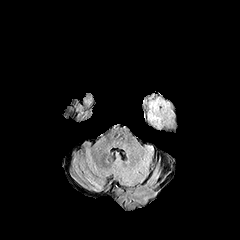
FLAIR MRI.
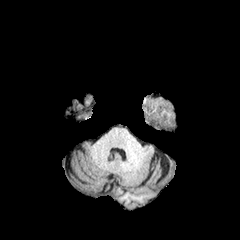
T1-weighted MR.
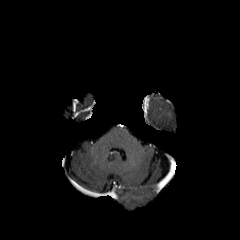
Post-contrast T1-weighted MRI.
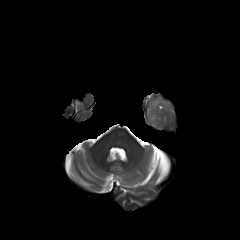
T2-weighted MRI of the same slice.
Axial slice
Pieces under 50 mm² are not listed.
peritumoral edema: bounding box region(150, 100, 160, 110)